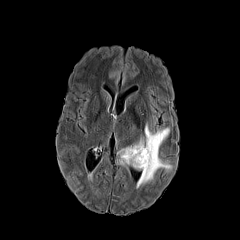
FLAIR magnetic resonance.
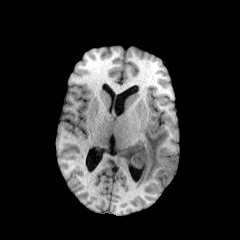
T1-weighted MRI.
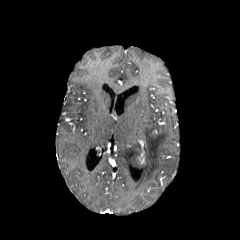
Post-contrast T1-weighted MR image.
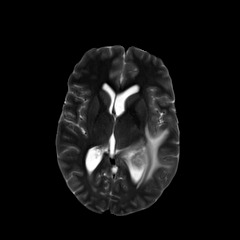
T2-weighted MRI.
Axial view
peritumoral_edema:
  - [119, 124, 172, 187]
enhancing_tumor:
  - [138, 149, 144, 163]